Image size 240x240. Brain.
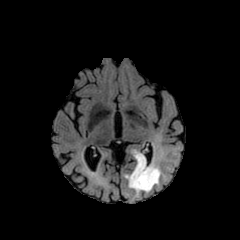
FLAIR MR.
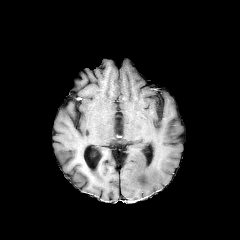
T1-weighted MR.
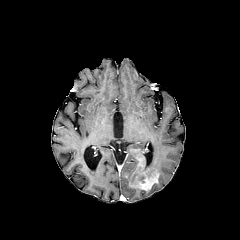
Post-contrast T1-weighted magnetic resonance of the same slice.
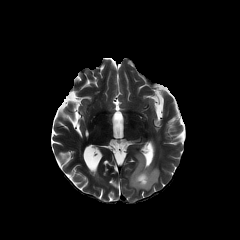
T2-weighted MR image.
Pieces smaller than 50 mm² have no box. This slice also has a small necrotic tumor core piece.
<segmentation>
  <enhancing_tumor>{"x1": 130, "y1": 155, "x2": 158, "y2": 190}</enhancing_tumor>
  <peritumoral_edema>{"x1": 125, "y1": 150, "x2": 160, "y2": 195}</peritumoral_edema>
</segmentation>